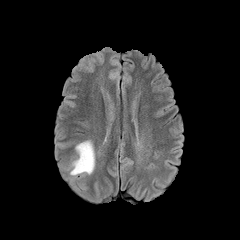
FLAIR MRI.
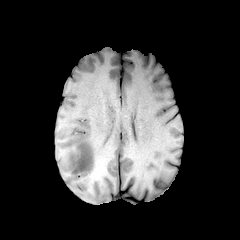
Same slice, T1-weighted MR.
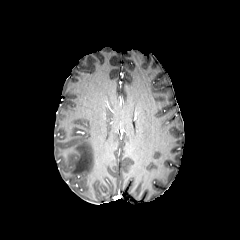
Post-contrast T1-weighted MR image.
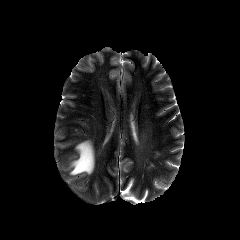
T2-weighted magnetic resonance of the same slice.
Head
peritumoral edema: x1=70, y1=140, x2=94, y2=175